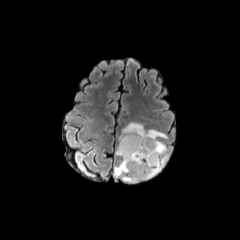
FLAIR MRI.
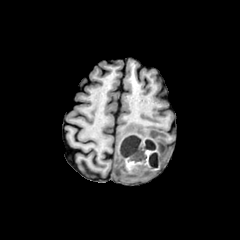
T1-weighted MR.
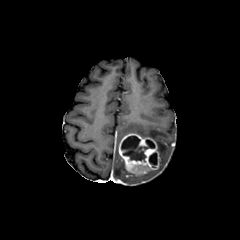
Post-contrast T1-weighted MRI of the same slice.
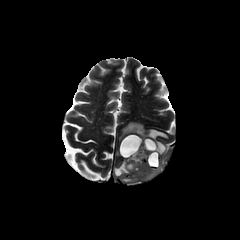
T2-weighted magnetic resonance.
Brain.
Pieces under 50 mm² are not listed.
{
  "enhancing_tumor": [
    "box(119, 133, 159, 175)"
  ],
  "peritumoral_edema": [
    "box(114, 122, 168, 182)"
  ],
  "necrotic_tumor_core": [
    "box(149, 152, 157, 166)",
    "box(121, 136, 154, 161)"
  ]
}